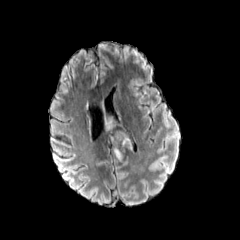
FLAIR magnetic resonance.
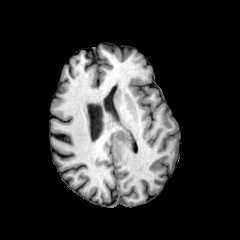
Same slice, T1-weighted magnetic resonance.
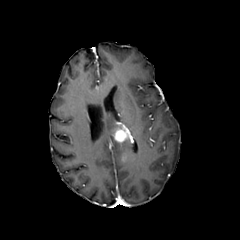
Post-contrast T1-weighted MRI of the same slice.
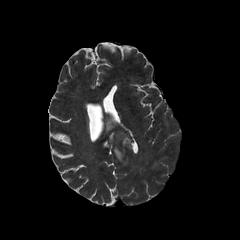
Same slice, T2-weighted MR image.
Brain | 240x240
peritumoral_edema:
  - (left=106, top=120, right=113, bottom=129)
  - (left=111, top=136, right=131, bottom=162)
enhancing_tumor:
  - (left=113, top=126, right=132, bottom=142)